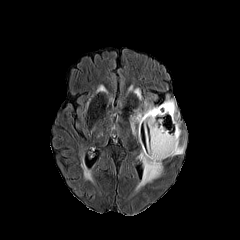
FLAIR MR.
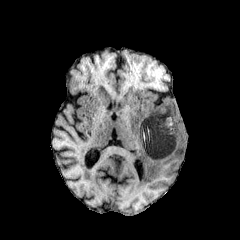
T1-weighted magnetic resonance.
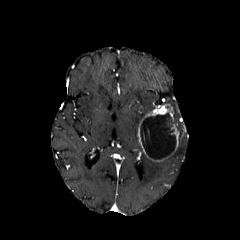
Post-contrast T1-weighted MRI.
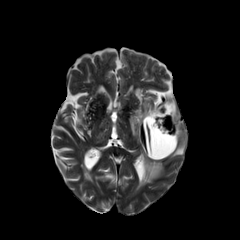
T2-weighted MRI.
Brain
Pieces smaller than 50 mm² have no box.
necrotic_tumor_core:
  - region(140, 113, 175, 159)
enhancing_tumor:
  - region(137, 103, 179, 161)
peritumoral_edema:
  - region(134, 88, 142, 100)
  - region(137, 98, 185, 188)
  - region(131, 93, 157, 135)